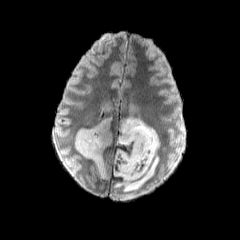
FLAIR magnetic resonance.
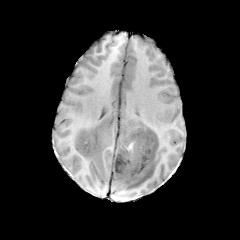
T1-weighted MR.
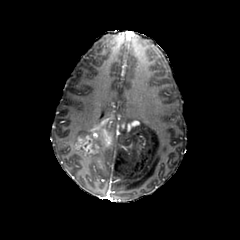
Post-contrast T1-weighted MR image.
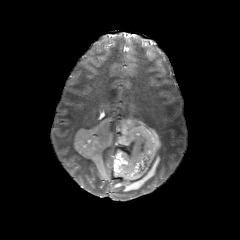
Same slice, T2-weighted magnetic resonance.
Head
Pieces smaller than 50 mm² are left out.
enhancing tumor: [74, 113, 138, 159] | necrotic tumor core: [92, 138, 102, 149] | peritumoral edema: [75, 128, 89, 141], [103, 102, 114, 119], [92, 153, 106, 178], [114, 100, 159, 191]